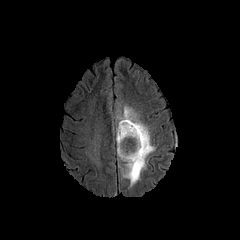
FLAIR MR image.
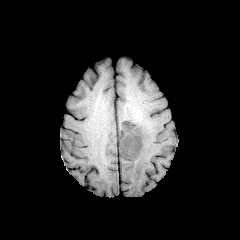
Same slice, T1-weighted MRI.
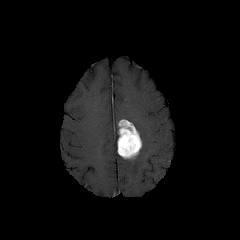
Post-contrast T1-weighted MR image.
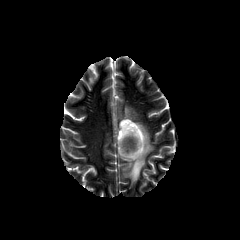
T2-weighted MRI of the same slice.
Head.
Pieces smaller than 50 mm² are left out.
Segmented structures:
- peritumoral edema: {"x1": 117, "y1": 105, "x2": 155, "y2": 186}
- enhancing tumor: {"x1": 117, "y1": 119, "x2": 142, "y2": 159}